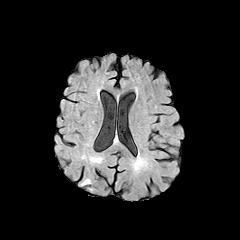
FLAIR magnetic resonance.
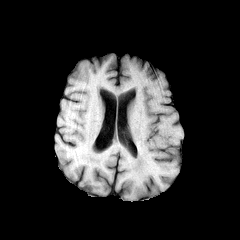
T1-weighted MR of the same slice.
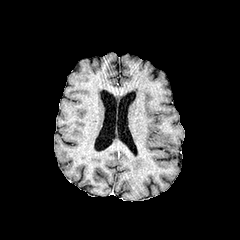
Post-contrast T1-weighted magnetic resonance.
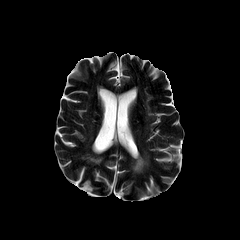
Same slice, T2-weighted magnetic resonance.
Axial slice | 240x240 px
peritumoral edema at box=[133, 157, 147, 171]